Head. 240x240 px.
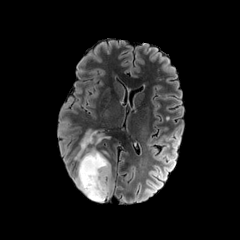
FLAIR MRI.
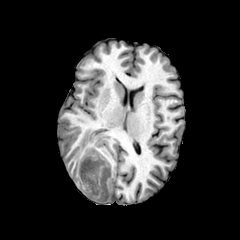
T1-weighted MRI of the same slice.
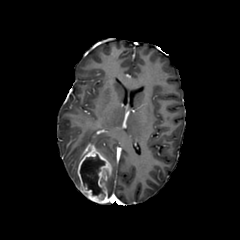
Post-contrast T1-weighted MR.
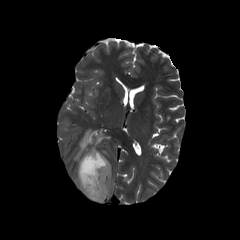
Same slice, T2-weighted magnetic resonance.
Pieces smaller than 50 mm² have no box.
The necrotic tumor core lies within rect(80, 154, 104, 195). The 2 largest peritumoral edema regions are bounded by rect(74, 129, 110, 188); rect(108, 175, 113, 197). The enhancing tumor is located at rect(77, 144, 111, 203).